FLAIR MR image.
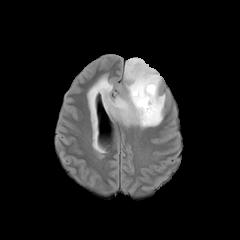
T1-weighted MRI.
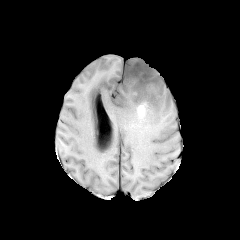
Post-contrast T1-weighted MR image.
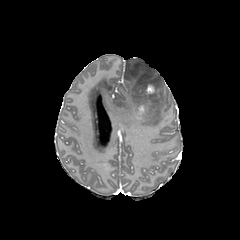
T2-weighted MR image.
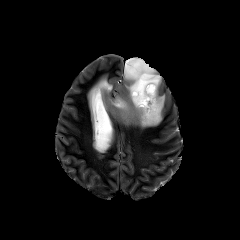
Image size 240x240; Axial plane; Head
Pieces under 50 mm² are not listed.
The peritumoral edema appears at (87, 58, 165, 127). The largest enhancing tumor region lies within (146, 85, 154, 93).